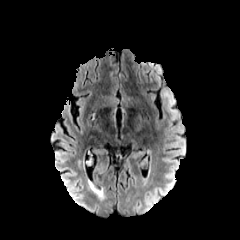
FLAIR magnetic resonance.
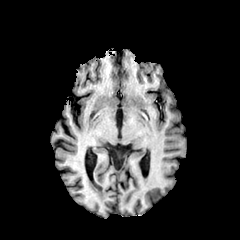
T1-weighted MR of the same slice.
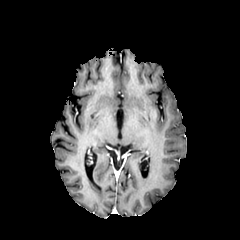
Post-contrast T1-weighted magnetic resonance.
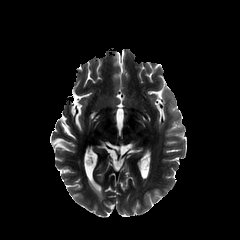
T2-weighted MRI.
Segmented structures:
* peritumoral edema: <bbox>163, 89, 178, 118</bbox>